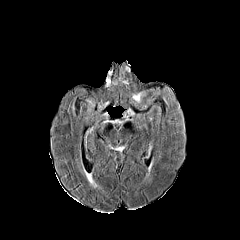
FLAIR MR.
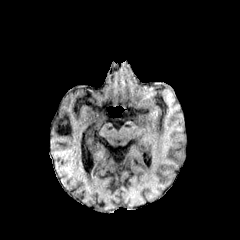
T1-weighted magnetic resonance of the same slice.
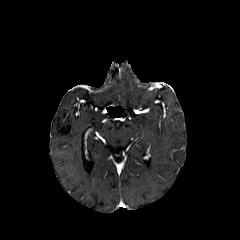
Same slice, post-contrast T1-weighted MR image.
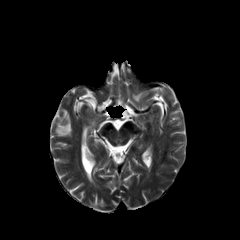
Same slice, T2-weighted MR image.
Axial plane | Head | Image size 240x240
The peritumoral edema lies within bbox=[133, 93, 142, 101].